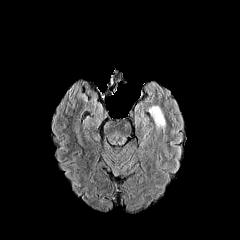
FLAIR MR image.
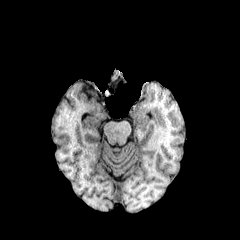
Same slice, T1-weighted MR.
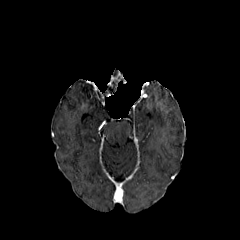
Post-contrast T1-weighted MRI of the same slice.
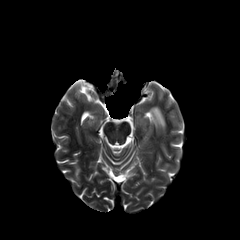
T2-weighted MR image of the same slice.
Head, Image size 240x240, Axial view
- peritumoral edema: 149,106,165,132